Image covers 240 mm x 240 mm, Head
FLAIR magnetic resonance.
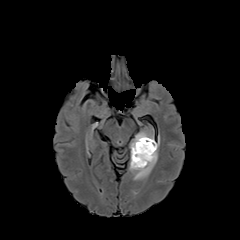
T1-weighted magnetic resonance.
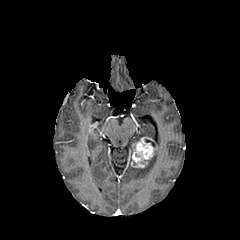
Post-contrast T1-weighted magnetic resonance.
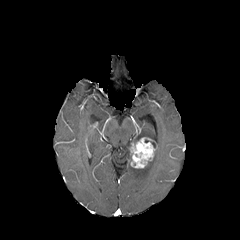
T2-weighted MRI.
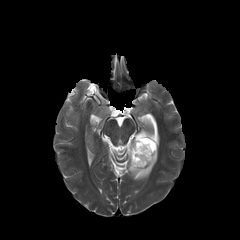
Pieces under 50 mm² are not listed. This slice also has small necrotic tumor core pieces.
<segmentation>
  <peritumoral_edema><bbox>129, 140, 159, 180</bbox>, <bbox>134, 131, 147, 141</bbox></peritumoral_edema>
  <enhancing_tumor><bbox>130, 137, 155, 168</bbox></enhancing_tumor>
</segmentation>